Image width 240 mm, 1.00 mm slice spacing | Axial view | Slice 75/155 | Head | 240x240
FLAIR MR.
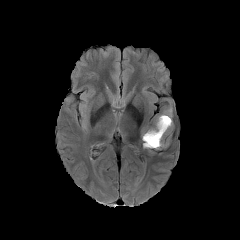
T1-weighted MRI.
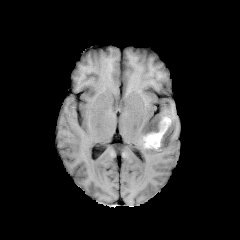
Post-contrast T1-weighted MR.
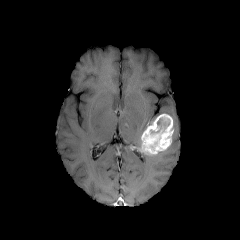
T2-weighted MR.
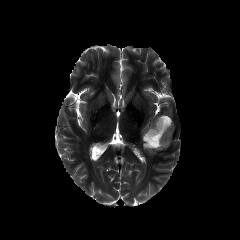
necrotic_tumor_core:
  - {"x1": 157, "y1": 119, "x2": 169, "y2": 126}
peritumoral_edema:
  - {"x1": 162, "y1": 107, "x2": 172, "y2": 116}
enhancing_tumor:
  - {"x1": 141, "y1": 113, "x2": 173, "y2": 154}